FLAIR MR.
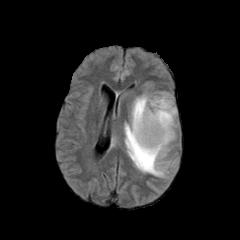
T1-weighted MR image.
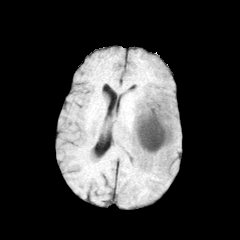
Post-contrast T1-weighted MR.
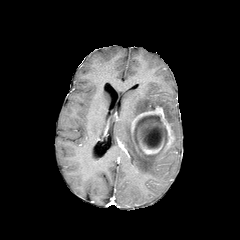
T2-weighted MR.
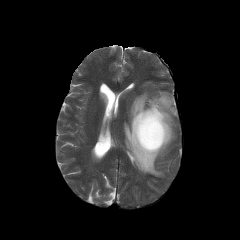
Brain
{
  "enhancing_tumor": [
    "[131,106,174,155]"
  ],
  "peritumoral_edema": [
    "[124,92,176,176]"
  ],
  "necrotic_tumor_core": [
    "[134,115,167,148]"
  ]
}